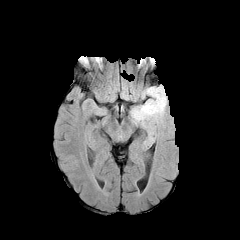
FLAIR MR.
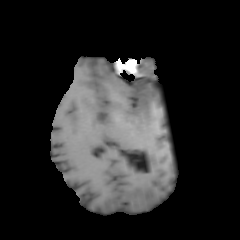
Same slice, T1-weighted MRI.
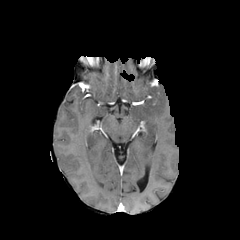
Same slice, post-contrast T1-weighted MR.
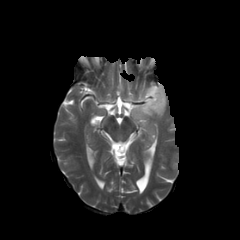
T2-weighted MRI.
240x240 px; Axial view
peritumoral edema: bounding box <bbox>130, 85, 166, 134</bbox>